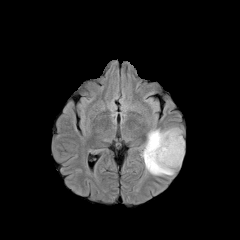
FLAIR magnetic resonance.
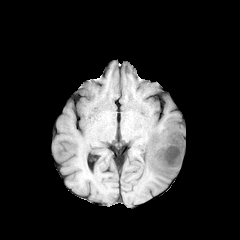
T1-weighted MR image.
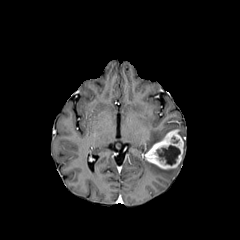
Post-contrast T1-weighted magnetic resonance of the same slice.
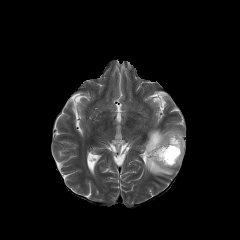
Same slice, T2-weighted MRI.
Axial slice, Brain
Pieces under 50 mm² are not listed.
The enhancing tumor is located at 143, 129, 183, 169. The 2 largest peritumoral edema regions are bounded by 142, 128, 178, 155; 143, 157, 174, 175. The largest necrotic tumor core region appears at 157, 145, 180, 165.